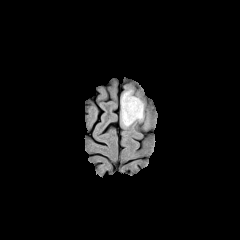
FLAIR magnetic resonance.
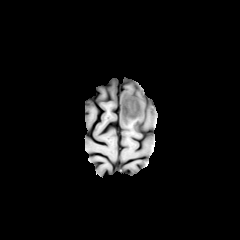
T1-weighted MR image.
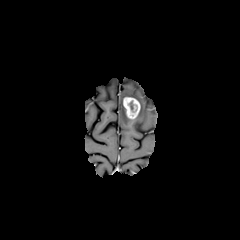
Post-contrast T1-weighted MR of the same slice.
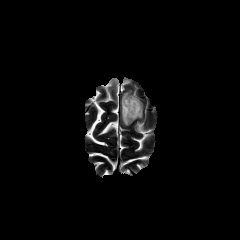
T2-weighted MRI of the same slice.
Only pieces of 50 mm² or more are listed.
peritumoral edema — [x1=120, y1=89, x2=143, y2=127]
necrotic tumor core — [x1=129, y1=101, x2=137, y2=112]
enhancing tumor — [x1=123, y1=97, x2=140, y2=119]